Image width 240 mm | Axial view
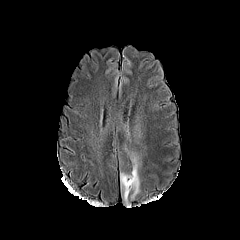
FLAIR MR image.
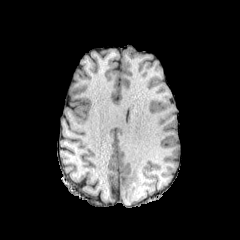
T1-weighted MRI.
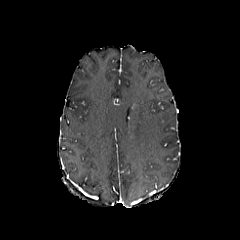
Post-contrast T1-weighted MR image.
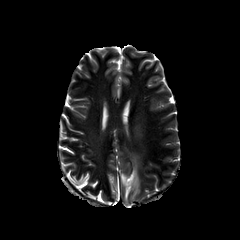
Same slice, T2-weighted MR image.
Findings:
- peritumoral edema: bbox(121, 158, 139, 201)